Brain. Slice 132 of 155.
FLAIR MR.
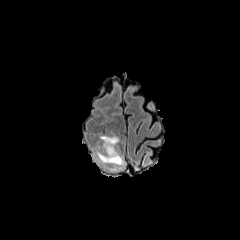
T1-weighted magnetic resonance.
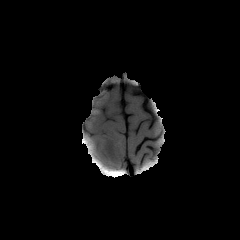
Post-contrast T1-weighted MR image.
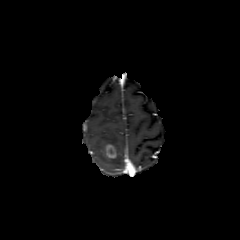
T2-weighted MR.
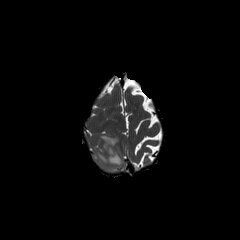
• enhancing tumor: region(104, 143, 117, 159)
• peritumoral edema: region(100, 135, 118, 150); region(96, 151, 122, 164)